FLAIR magnetic resonance.
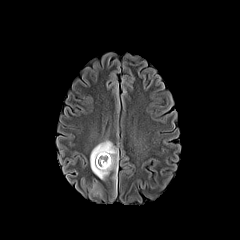
T1-weighted MRI.
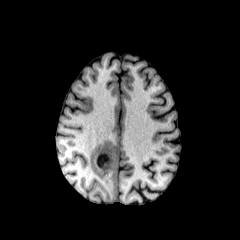
Post-contrast T1-weighted MR.
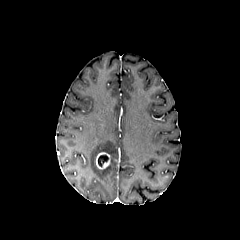
T2-weighted MR.
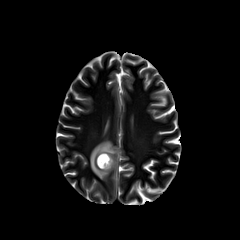
Image size 240x240. Axial view. Head.
necrotic tumor core at l=98, t=155, r=108, b=166
peritumoral edema at l=90, t=139, r=118, b=180
enhancing tumor at l=95, t=152, r=110, b=169